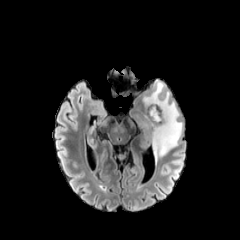
FLAIR MR image.
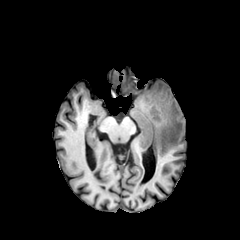
T1-weighted MR image of the same slice.
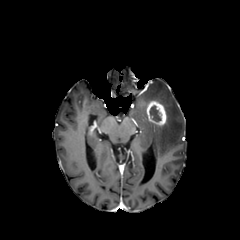
Post-contrast T1-weighted magnetic resonance of the same slice.
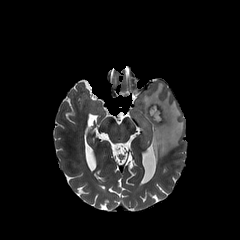
Same slice, T2-weighted MR.
Brain; Axial slice
Segmented structures:
- necrotic tumor core: (149, 105, 161, 121)
- enhancing tumor: (146, 99, 166, 125)
- peritumoral edema: (141, 80, 183, 163)